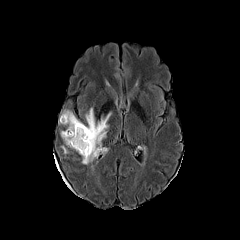
FLAIR MR.
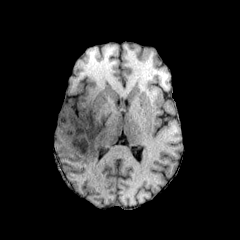
T1-weighted magnetic resonance.
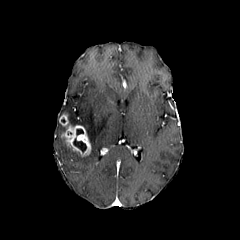
Post-contrast T1-weighted MRI of the same slice.
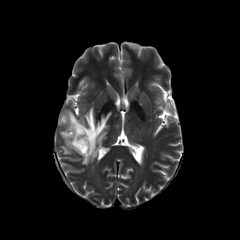
T2-weighted MRI.
Axial plane. 240x240. Brain.
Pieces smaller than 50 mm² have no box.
necrotic tumor core: region(73, 138, 86, 152)
peritumoral edema: region(61, 107, 111, 164); region(61, 143, 69, 153)
enhancing tumor: region(59, 113, 91, 156)